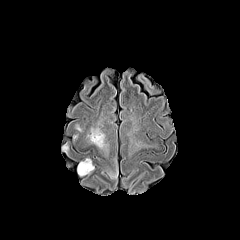
FLAIR MRI.
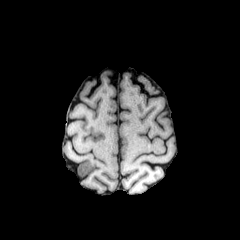
T1-weighted magnetic resonance.
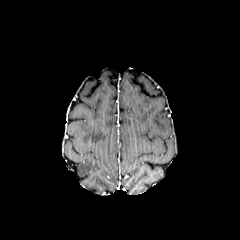
Post-contrast T1-weighted MR.
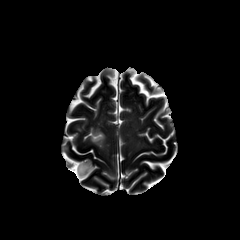
Same slice, T2-weighted magnetic resonance.
240x240 px | Axial view | Head
{"peritumoral_edema": ["90:129:104:147", "78:159:94:175"]}